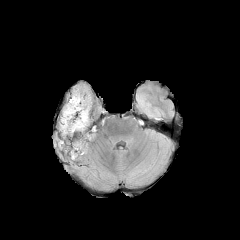
FLAIR MR image.
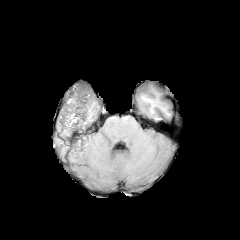
Same slice, T1-weighted MRI.
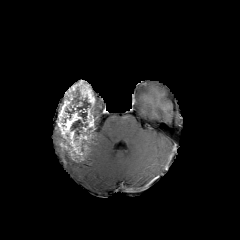
Post-contrast T1-weighted MR image of the same slice.
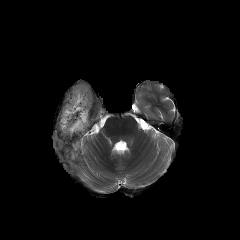
T2-weighted MR image of the same slice.
Axial slice. 240x240. Head.
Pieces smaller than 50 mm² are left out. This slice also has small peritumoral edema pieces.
necrotic_tumor_core:
  - <bbox>72, 90, 90, 121</bbox>
  - <bbox>71, 119, 87, 139</bbox>
enhancing_tumor:
  - <bbox>57, 81, 96, 159</bbox>